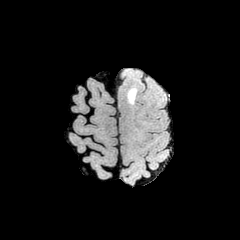
FLAIR MRI.
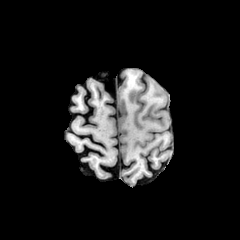
Same slice, T1-weighted MR.
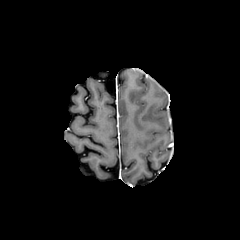
Same slice, post-contrast T1-weighted MRI.
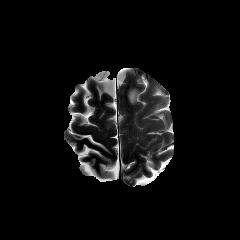
T2-weighted MR image.
peritumoral edema: [128,88,136,104]